Axial plane
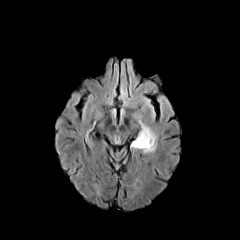
FLAIR MRI.
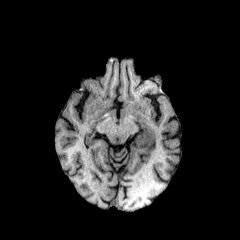
T1-weighted MRI.
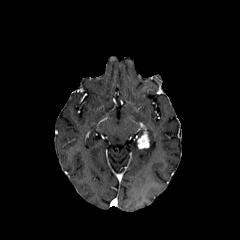
Same slice, post-contrast T1-weighted MRI.
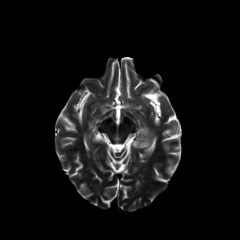
T2-weighted MR.
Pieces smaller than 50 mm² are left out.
enhancing tumor: bounding box [137,127,149,148]
peritumoral edema: bounding box [138,125,156,152]